Axial slice, Slice 83 of 155, Head
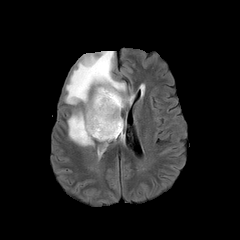
FLAIR MR.
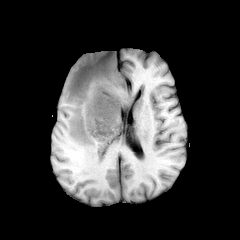
T1-weighted MRI of the same slice.
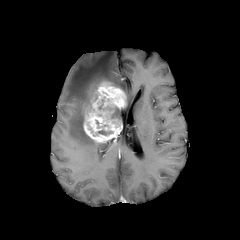
Post-contrast T1-weighted MR image of the same slice.
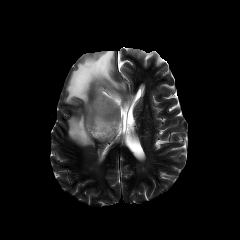
T2-weighted MR of the same slice.
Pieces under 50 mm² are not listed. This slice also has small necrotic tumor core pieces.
The enhancing tumor is bounded by x1=83 y1=81 x2=126 y2=142. The 2 largest peritumoral edema regions appear at x1=68 y1=111 x2=94 y2=146, x1=65 y1=51 x2=126 y2=109.